Slice index 82. Axial plane. Image width 240 mm, 1.00 mm slice spacing.
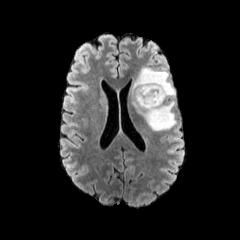
FLAIR magnetic resonance.
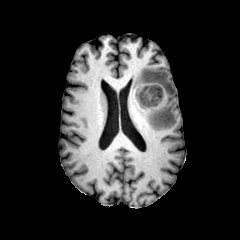
T1-weighted magnetic resonance.
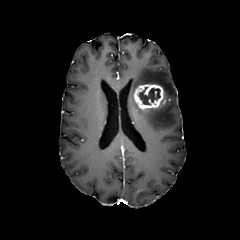
Post-contrast T1-weighted MR image.
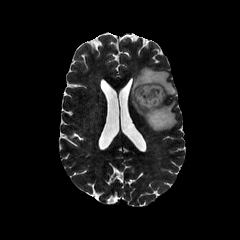
T2-weighted MR image.
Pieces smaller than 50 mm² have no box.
The largest necrotic tumor core region is bounded by 136:86:160:104. The peritumoral edema is at 131:67:176:131. The largest enhancing tumor region lies within 134:84:164:109.